240x240 px; Head; Slice 76/155
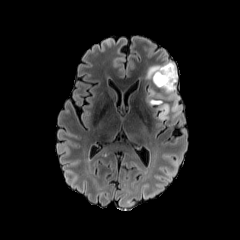
FLAIR MR.
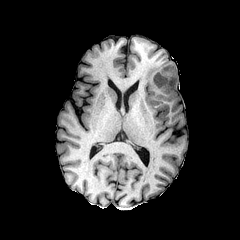
T1-weighted MR.
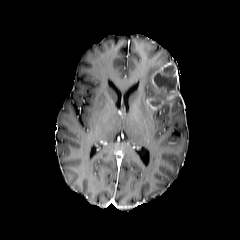
Post-contrast T1-weighted MR.
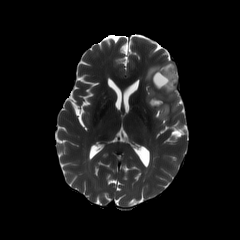
T2-weighted magnetic resonance of the same slice.
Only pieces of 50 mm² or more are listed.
enhancing tumor: (146, 62, 178, 109) | necrotic tumor core: (154, 65, 176, 91) | peritumoral edema: (144, 60, 180, 120)